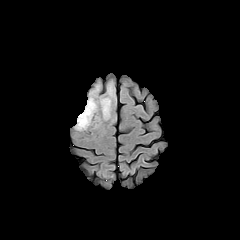
FLAIR MRI.
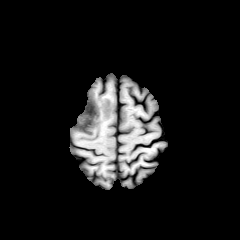
T1-weighted MR image of the same slice.
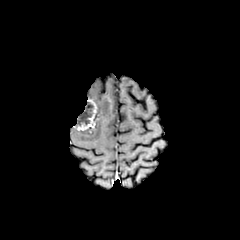
Post-contrast T1-weighted magnetic resonance.
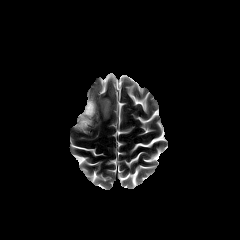
T2-weighted MR.
240x240 px.
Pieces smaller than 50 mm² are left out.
The enhancing tumor is at rect(74, 98, 96, 130). The largest peritumoral edema region is bounded by rect(100, 98, 111, 119). The necrotic tumor core is located at rect(76, 102, 93, 125).